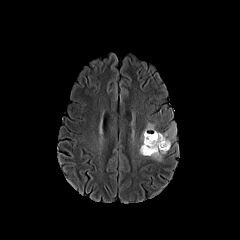
FLAIR MR.
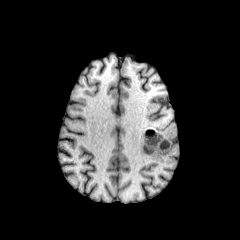
T1-weighted MRI.
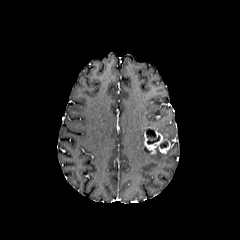
Post-contrast T1-weighted MR.
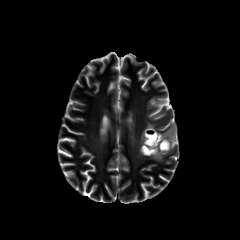
T2-weighted magnetic resonance of the same slice.
Head
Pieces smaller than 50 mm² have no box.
The largest necrotic tumor core region is located at [146,128,159,144]. The 2 largest peritumoral edema regions are located at [139,130,164,160], [162,124,176,143]. The largest enhancing tumor region lies within [142,127,170,154].